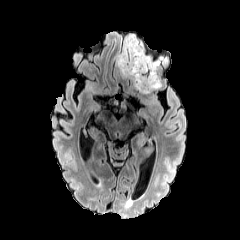
FLAIR MR image.
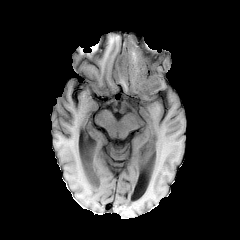
Same slice, T1-weighted MR.
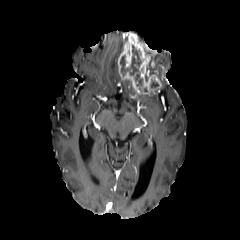
Post-contrast T1-weighted MRI.
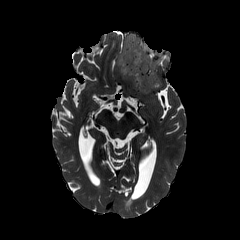
T2-weighted MR.
Axial slice, 240x240, Brain
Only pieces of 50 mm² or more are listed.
necrotic tumor core: bounding box l=120, t=45, r=147, b=91; l=150, t=79, r=159, b=88
enhancing tumor: bounding box l=118, t=33, r=161, b=93
peritumoral edema: bounding box l=143, t=51, r=162, b=81